240x240 px | Axial slice | Brain | Slice 110 of 155
FLAIR MRI.
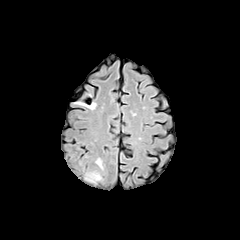
T1-weighted MR.
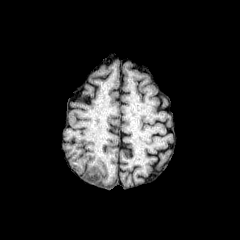
Post-contrast T1-weighted MR.
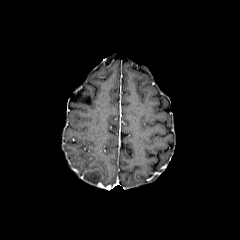
T2-weighted MR.
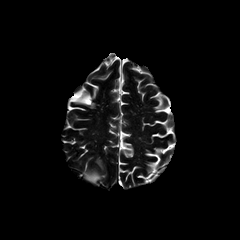
peritumoral edema — l=84, t=171, r=101, b=183; l=96, t=158, r=102, b=169